Image covers 240 mm x 240 mm
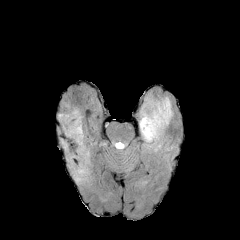
FLAIR MR.
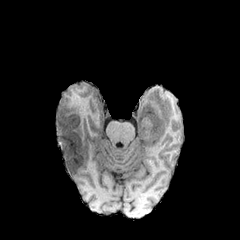
T1-weighted MRI.
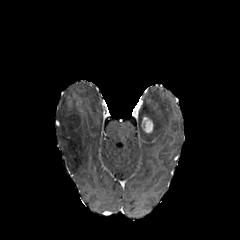
Post-contrast T1-weighted MR image.
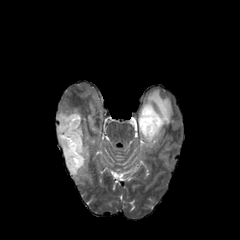
T2-weighted magnetic resonance of the same slice.
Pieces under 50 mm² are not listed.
{"peritumoral_edema": ["<bbox>56, 100, 91, 185</bbox>", "<bbox>139, 93, 172, 142</bbox>"], "enhancing_tumor": ["<bbox>141, 116, 153, 133</bbox>"]}